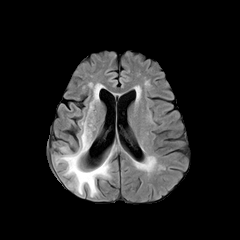
FLAIR MR.
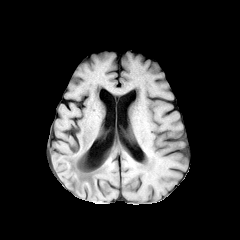
T1-weighted MR image.
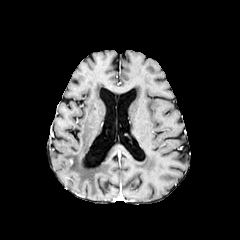
Post-contrast T1-weighted MR.
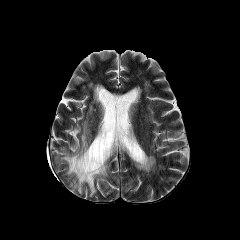
T2-weighted MRI.
Axial slice, Head
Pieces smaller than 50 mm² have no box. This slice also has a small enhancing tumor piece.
Findings:
* peritumoral edema: <box>55,118,115,195</box>, <box>89,82,101,111</box>